FLAIR MR image.
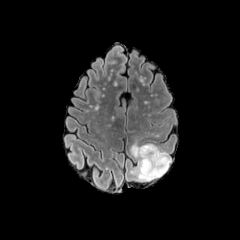
T1-weighted MRI.
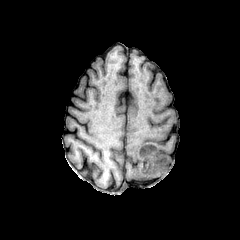
Post-contrast T1-weighted MR image.
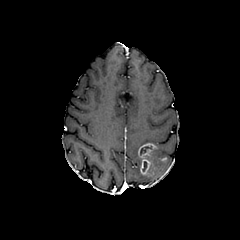
T2-weighted MRI.
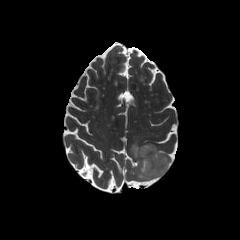
240x240 px; Axial view
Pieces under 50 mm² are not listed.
<segmentation>
  <necrotic_tumor_core>box(140, 146, 151, 154)</necrotic_tumor_core>
  <enhancing_tumor>box(138, 143, 156, 174)</enhancing_tumor>
  <peritumoral_edema>box(130, 142, 170, 180)</peritumoral_edema>
</segmentation>